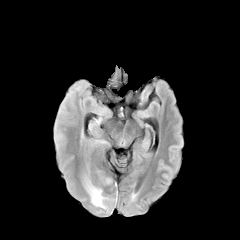
FLAIR magnetic resonance.
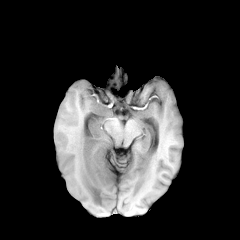
Same slice, T1-weighted MR image.
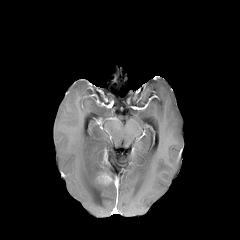
Post-contrast T1-weighted MR image of the same slice.
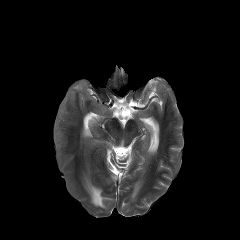
T2-weighted MR image.
Brain | Axial view | 240x240
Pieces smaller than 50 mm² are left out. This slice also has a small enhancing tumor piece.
<segmentation>
  <peritumoral_edema>84:176:107:208</peritumoral_edema>
</segmentation>